Axial slice, Slice 97 of 155
FLAIR MR image.
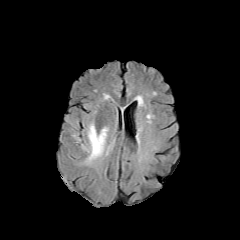
T1-weighted MRI.
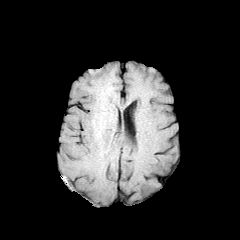
Post-contrast T1-weighted MR image.
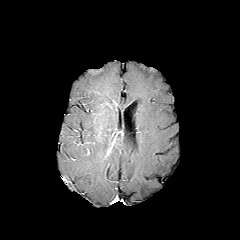
T2-weighted magnetic resonance.
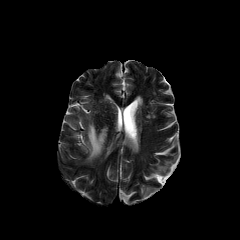
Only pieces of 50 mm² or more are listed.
peritumoral edema: left=81, top=122, right=108, bottom=163